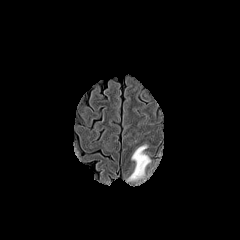
FLAIR MRI.
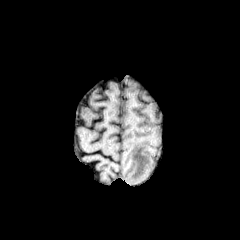
T1-weighted magnetic resonance.
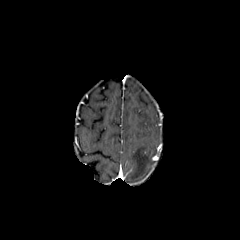
Post-contrast T1-weighted MR of the same slice.
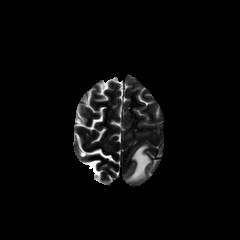
T2-weighted MR.
Brain
Findings:
- peritumoral edema: 127:145:150:181